240x240; Head; Slice 82/155
FLAIR magnetic resonance.
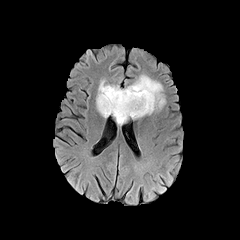
T1-weighted MRI.
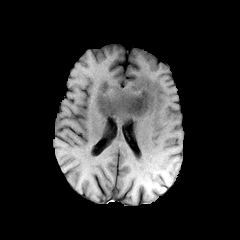
Post-contrast T1-weighted MR image.
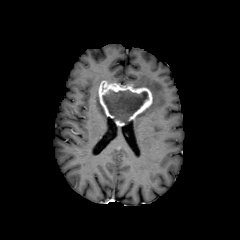
T2-weighted MR image.
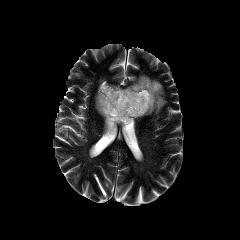
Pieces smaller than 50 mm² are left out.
enhancing_tumor:
  - rect(98, 81, 152, 125)
peritumoral_edema:
  - rect(133, 74, 165, 118)
  - rect(96, 92, 107, 117)
necrotic_tumor_core:
  - rect(103, 90, 147, 122)